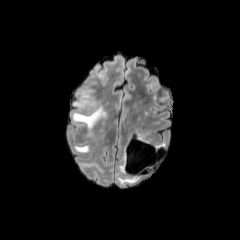
FLAIR magnetic resonance.
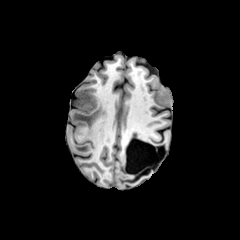
T1-weighted MR image.
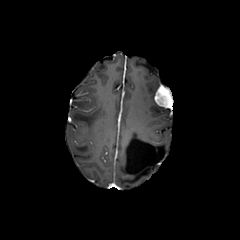
Post-contrast T1-weighted MR image.
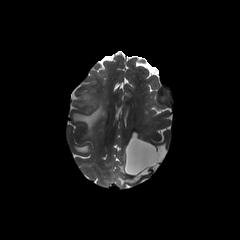
T2-weighted magnetic resonance.
Head; 240x240
peritumoral edema: (x1=74, y1=91, x2=96, y2=110), (x1=74, y1=145, x2=88, y2=152), (x1=72, y1=106, x2=105, y2=135)